FLAIR MR image.
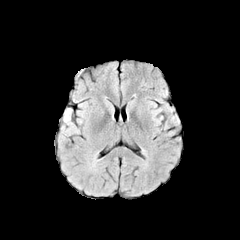
T1-weighted MR.
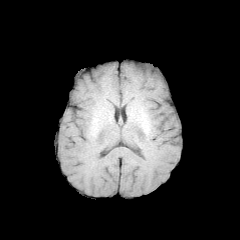
Post-contrast T1-weighted MRI.
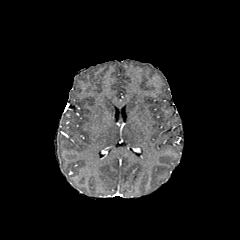
T2-weighted magnetic resonance.
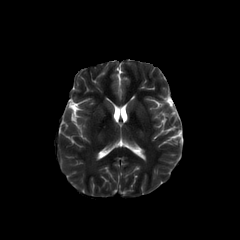
Axial slice
peritumoral edema — 64, 108, 71, 121